Head | Slice 44 of 155 | Axial plane | Image size 240x240
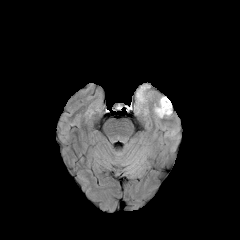
FLAIR magnetic resonance.
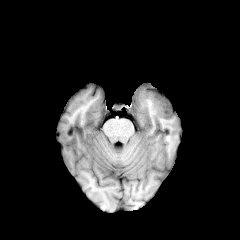
T1-weighted magnetic resonance of the same slice.
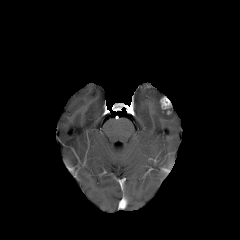
Post-contrast T1-weighted MR.
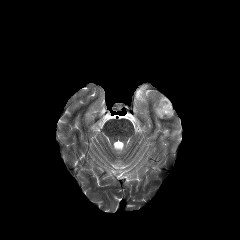
T2-weighted MR.
peritumoral edema — (153, 96, 172, 118), (134, 84, 154, 115)
enhancing tumor — (160, 96, 171, 114)